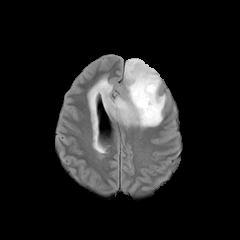
FLAIR magnetic resonance.
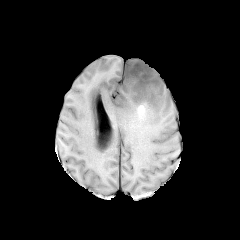
T1-weighted MRI of the same slice.
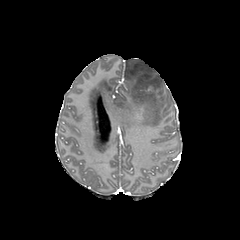
Post-contrast T1-weighted MR of the same slice.
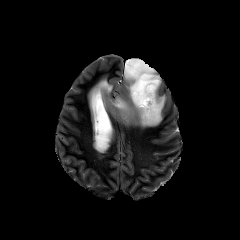
T2-weighted magnetic resonance.
Head. Axial slice. 240x240.
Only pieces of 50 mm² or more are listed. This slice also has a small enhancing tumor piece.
{
  "peritumoral_edema": [
    "region(88, 58, 166, 126)"
  ]
}